FLAIR MRI.
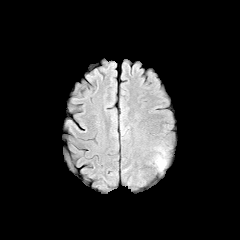
T1-weighted magnetic resonance.
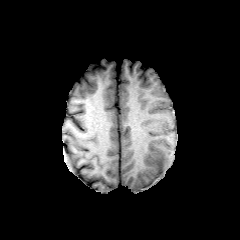
Post-contrast T1-weighted MR image.
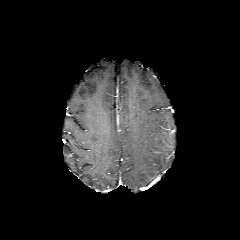
T2-weighted MR image.
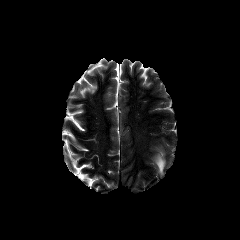
Image size 240x240
peritumoral edema = (154, 155, 165, 170)